240x240, Axial plane, Brain
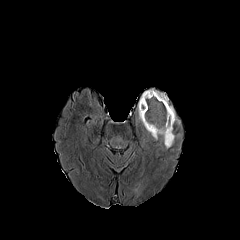
FLAIR MR.
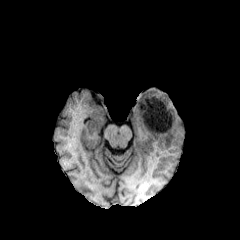
T1-weighted MR.
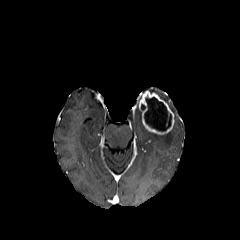
Post-contrast T1-weighted MR.
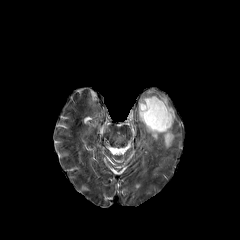
T2-weighted magnetic resonance of the same slice.
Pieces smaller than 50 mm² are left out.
enhancing tumor: (139,90,174,135)
necrotic tumor core: (144,97,171,131)
peritumoral edema: (162,129,180,149), (169,106,180,124), (149,89,168,104)